FLAIR MR image.
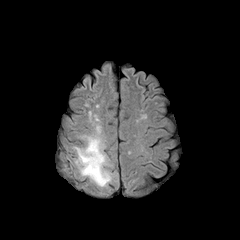
T1-weighted MR image.
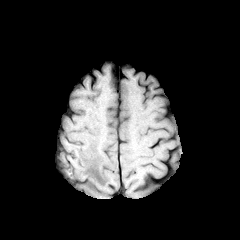
Post-contrast T1-weighted MRI.
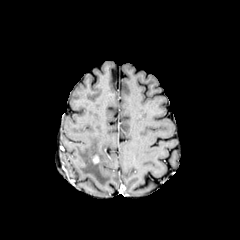
T2-weighted magnetic resonance.
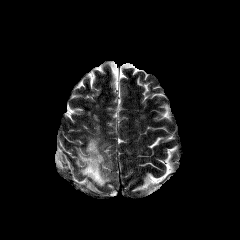
240x240 px; Brain; Axial plane
Findings:
- peritumoral edema: box(75, 126, 113, 186)
- enhancing tumor: box(92, 155, 99, 163)